FLAIR MR.
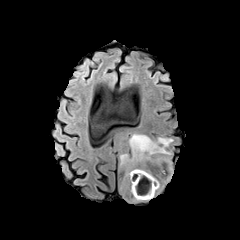
T1-weighted MR image.
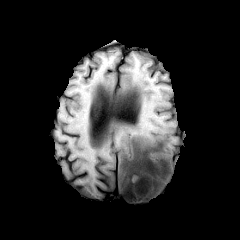
Post-contrast T1-weighted magnetic resonance.
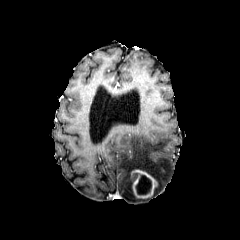
T2-weighted MR.
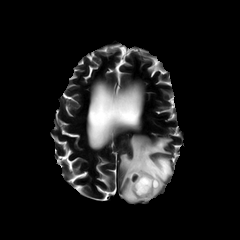
240x240 px
• necrotic tumor core: <bbox>136, 175, 151, 194</bbox>
• enhancing tumor: <bbox>131, 169, 158, 198</bbox>
• peritumoral edema: <bbox>120, 134, 173, 201</bbox>